FLAIR MRI.
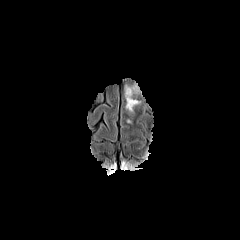
T1-weighted MR.
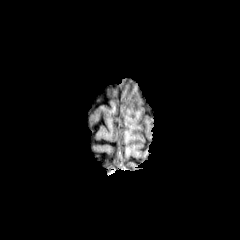
Post-contrast T1-weighted magnetic resonance.
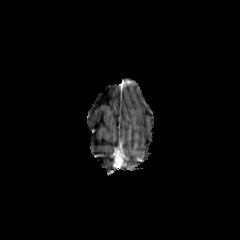
T2-weighted MR image.
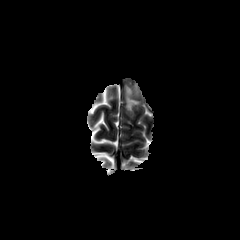
Head
peritumoral edema: bbox(126, 88, 138, 110)